Slice index 71; Image width 240 mm
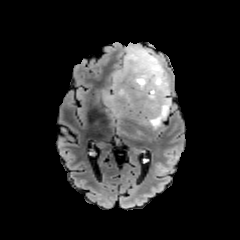
FLAIR MR.
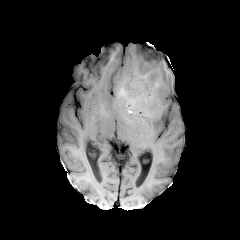
T1-weighted MR of the same slice.
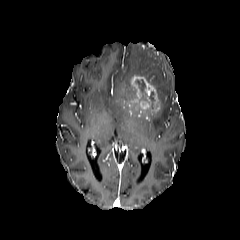
Same slice, post-contrast T1-weighted MR image.
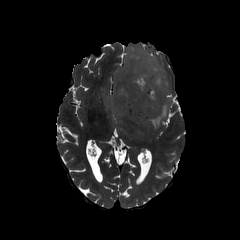
T2-weighted MRI.
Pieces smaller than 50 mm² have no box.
peritumoral edema: rect(104, 42, 172, 137)
necrotic tumor core: rect(132, 79, 146, 92)
enhancing tumor: rect(124, 76, 160, 117)